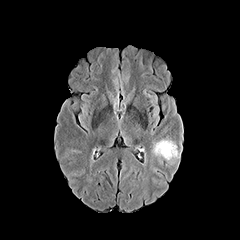
FLAIR MR image.
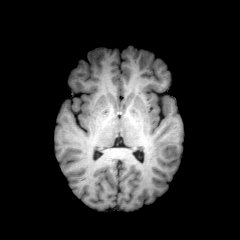
T1-weighted MR.
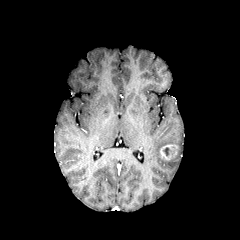
Post-contrast T1-weighted MRI of the same slice.
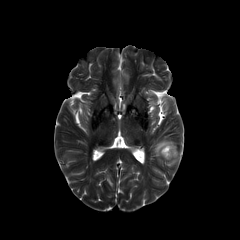
T2-weighted MRI.
Brain
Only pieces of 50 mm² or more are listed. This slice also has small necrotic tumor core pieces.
enhancing tumor: bounding box bbox(160, 144, 176, 160)
peritumoral edema: bounding box bbox(154, 141, 172, 157)